FLAIR MR image.
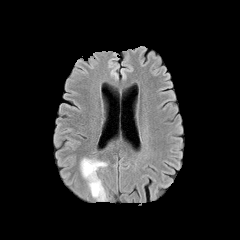
T1-weighted MR.
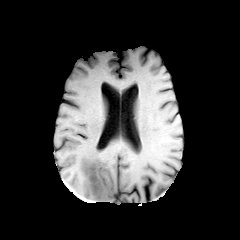
Post-contrast T1-weighted MRI.
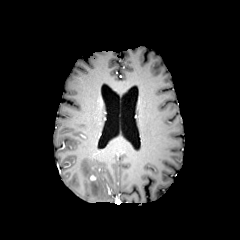
T2-weighted MRI.
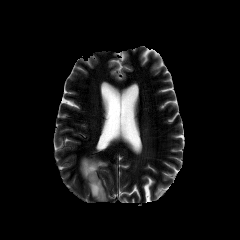
240x240 px | Brain
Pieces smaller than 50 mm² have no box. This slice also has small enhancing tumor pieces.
- peritumoral edema: x1=80, y1=158, x2=107, y2=201